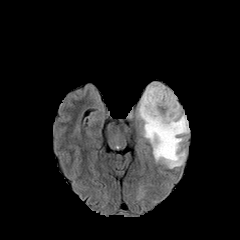
FLAIR MR image.
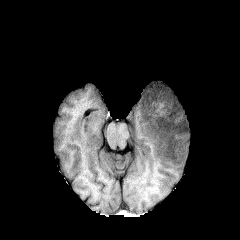
T1-weighted MRI.
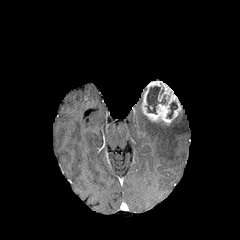
Post-contrast T1-weighted MR image.
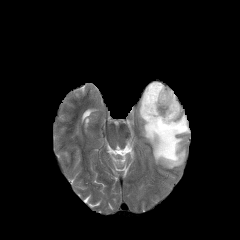
T2-weighted MR image of the same slice.
240x240 px. Brain.
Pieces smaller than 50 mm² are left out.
Segmented structures:
* peritumoral edema: {"x1": 137, "y1": 96, "x2": 189, "y2": 168}
* necrotic tumor core: {"x1": 167, "y1": 102, "x2": 177, "y2": 118}, {"x1": 146, "y1": 86, "x2": 165, "y2": 113}
* enhancing tumor: {"x1": 141, "y1": 81, "x2": 181, "y2": 125}